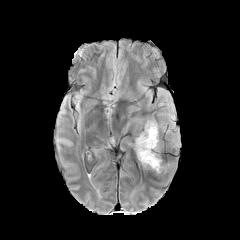
FLAIR MR.
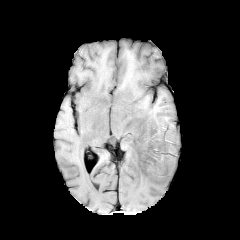
T1-weighted magnetic resonance.
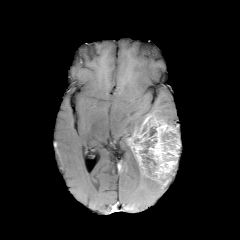
Post-contrast T1-weighted MRI.
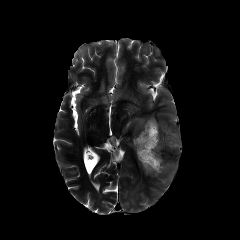
T2-weighted magnetic resonance.
Head, Image size 240x240
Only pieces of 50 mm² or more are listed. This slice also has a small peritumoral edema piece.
The largest enhancing tumor region is located at <box>129,116,180,179</box>. The 4 largest necrotic tumor core regions are located at <box>149,127,156,136</box>, <box>141,140,156,153</box>, <box>162,132,175,141</box>, <box>142,155,156,172</box>.